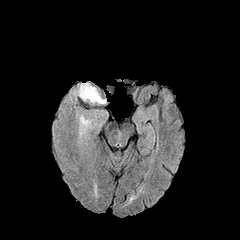
FLAIR MRI.
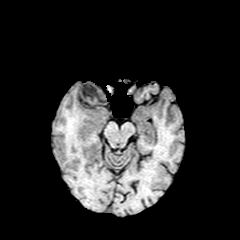
T1-weighted MR.
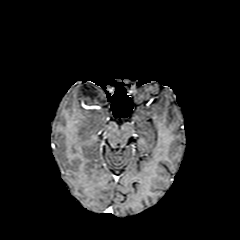
Post-contrast T1-weighted magnetic resonance.
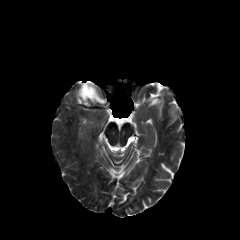
T2-weighted magnetic resonance of the same slice.
Head
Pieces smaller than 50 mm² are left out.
Findings:
• peritumoral edema: left=79, top=83, right=106, bottom=103